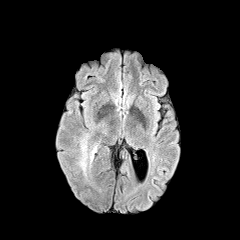
FLAIR magnetic resonance.
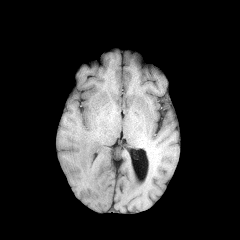
T1-weighted MR.
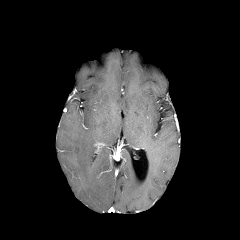
Post-contrast T1-weighted MR.
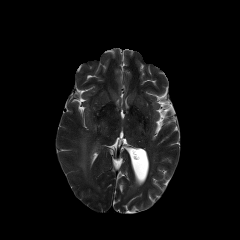
Same slice, T2-weighted MRI.
Axial slice, Brain
<segmentation>
  <peritumoral_edema>left=78, top=134, right=100, bottom=176</peritumoral_edema>
</segmentation>